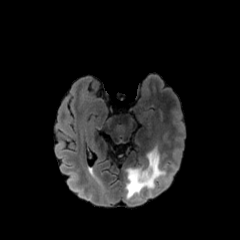
FLAIR MR.
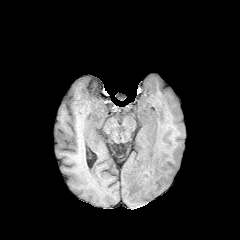
Same slice, T1-weighted magnetic resonance.
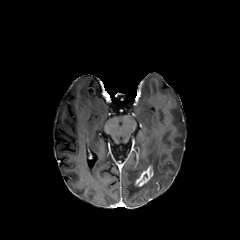
Post-contrast T1-weighted MRI.
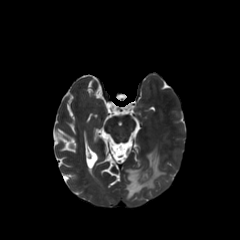
T2-weighted MR.
Axial plane. 240x240 px.
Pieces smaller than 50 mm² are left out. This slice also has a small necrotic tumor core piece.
The enhancing tumor is bounded by bbox=[135, 165, 153, 186]. The peritumoral edema lies within bbox=[126, 148, 165, 199].